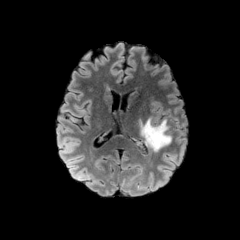
FLAIR MR image.
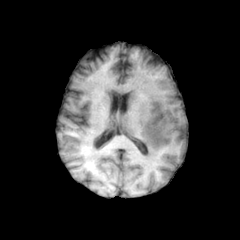
T1-weighted MR.
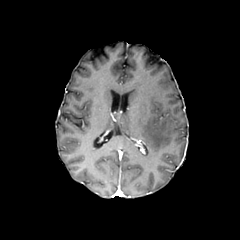
Same slice, post-contrast T1-weighted magnetic resonance.
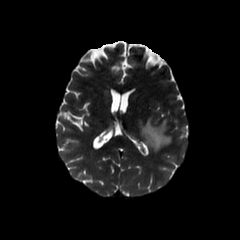
T2-weighted MR image.
Axial plane.
peritumoral edema: bounding box 141 118 171 151